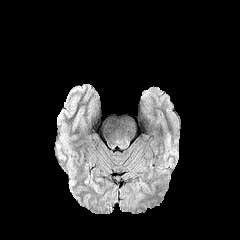
FLAIR MRI.
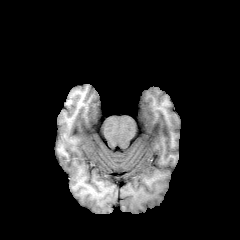
T1-weighted MRI.
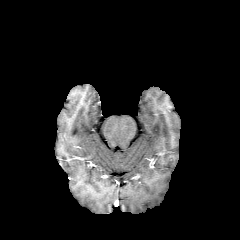
Post-contrast T1-weighted magnetic resonance of the same slice.
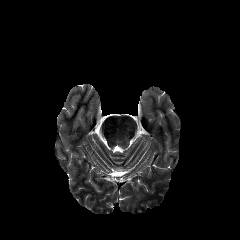
T2-weighted magnetic resonance.
Head | 240x240 px | Axial slice
<segmentation>
  <peritumoral_edema>[117,136,129,148]</peritumoral_edema>
</segmentation>